FLAIR magnetic resonance.
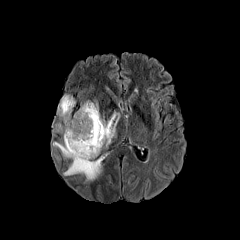
T1-weighted magnetic resonance.
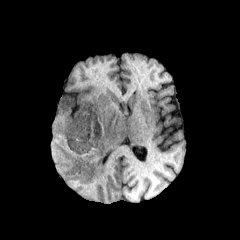
Post-contrast T1-weighted MR image.
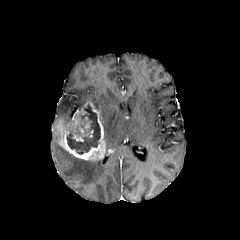
T2-weighted MRI.
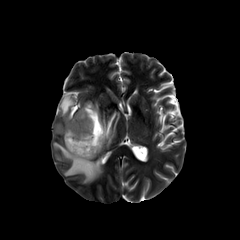
Axial plane; 240x240; Head
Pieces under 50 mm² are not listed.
The 2 largest enhancing tumor regions appear at {"x1": 84, "y1": 117, "x2": 91, "y2": 130}, {"x1": 57, "y1": 101, "x2": 105, "y2": 160}. The largest necrotic tumor core region is bounded by {"x1": 66, "y1": 104, "x2": 100, "y2": 154}. The 3 largest peritumoral edema regions are located at {"x1": 53, "y1": 142, "x2": 102, "y2": 182}, {"x1": 57, "y1": 95, "x2": 75, "y2": 123}, {"x1": 100, "y1": 111, "x2": 119, "y2": 147}.